FLAIR MR image.
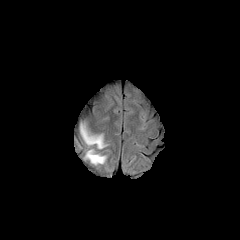
T1-weighted MR.
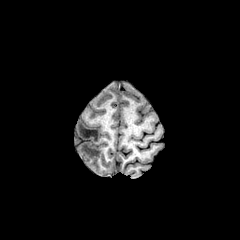
Post-contrast T1-weighted magnetic resonance.
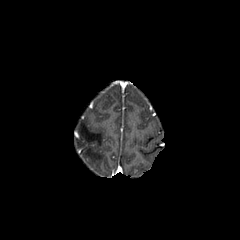
T2-weighted MR.
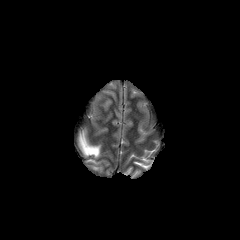
Axial slice
Segmented structures:
• peritumoral edema: left=80, top=125, right=105, bottom=164